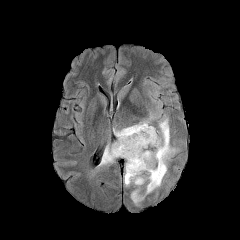
FLAIR MR.
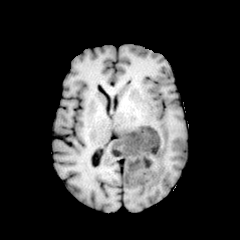
T1-weighted magnetic resonance.
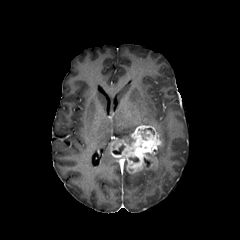
Same slice, post-contrast T1-weighted MR image.
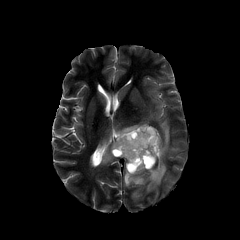
T2-weighted MR image of the same slice.
Axial view
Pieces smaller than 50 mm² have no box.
The 4 largest peritumoral edema regions are located at {"x1": 124, "y1": 119, "x2": 174, "y2": 193}, {"x1": 100, "y1": 144, "x2": 114, "y2": 165}, {"x1": 114, "y1": 122, "x2": 148, "y2": 138}, {"x1": 131, "y1": 190, "x2": 142, "y2": 202}. The enhancing tumor is bounded by {"x1": 110, "y1": 125, "x2": 161, "y2": 173}. The largest necrotic tumor core region appears at {"x1": 112, "y1": 145, "x2": 124, "y2": 154}.